FLAIR MR image.
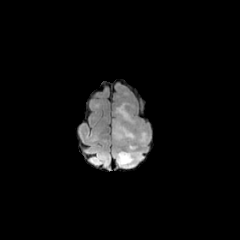
T1-weighted MRI.
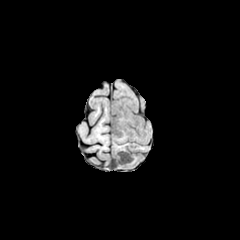
Post-contrast T1-weighted MR.
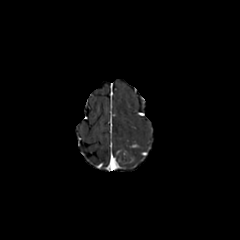
T2-weighted magnetic resonance.
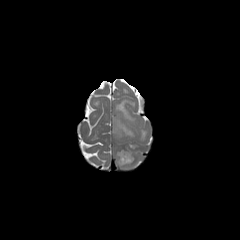
Axial plane
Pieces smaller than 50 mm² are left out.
{
  "necrotic_tumor_core": [
    "bbox(120, 153, 128, 162)"
  ],
  "enhancing_tumor": [
    "bbox(116, 150, 134, 164)"
  ],
  "peritumoral_edema": [
    "bbox(113, 102, 147, 142)",
    "bbox(114, 142, 141, 167)"
  ]
}